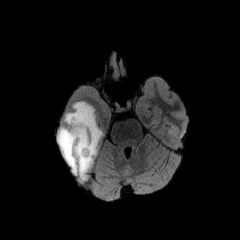
FLAIR MR image.
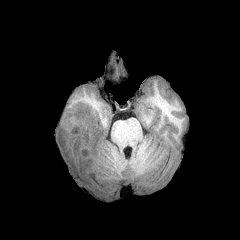
Same slice, T1-weighted MR image.
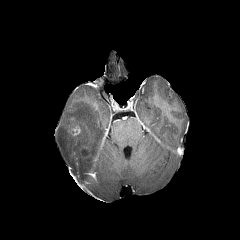
Same slice, post-contrast T1-weighted MRI.
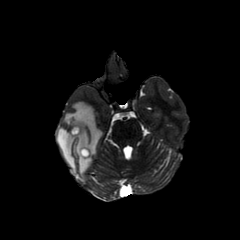
T2-weighted MR.
Axial slice
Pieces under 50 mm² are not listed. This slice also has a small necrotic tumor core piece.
peritumoral edema — 57,102,102,179
enhancing tumor — 70,125,81,136; 79,147,91,158